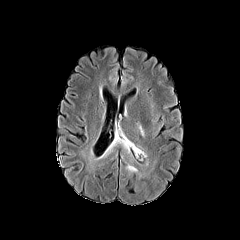
FLAIR magnetic resonance.
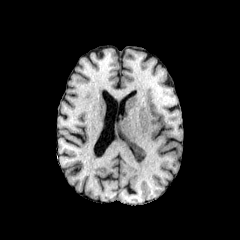
T1-weighted magnetic resonance.
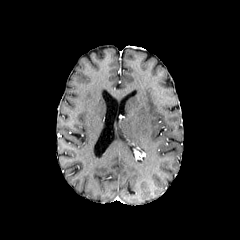
Post-contrast T1-weighted magnetic resonance.
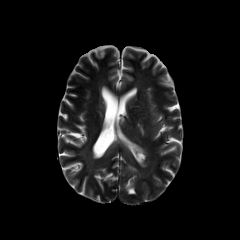
Same slice, T2-weighted magnetic resonance.
Brain, 240x240
Findings:
• peritumoral edema: 124 164 137 172, 108 132 146 158, 137 121 144 137